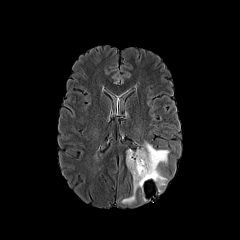
FLAIR MRI.
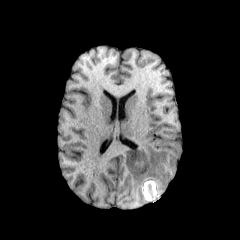
T1-weighted MRI.
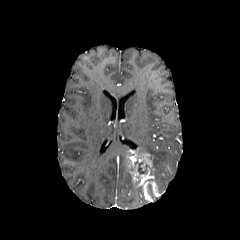
Post-contrast T1-weighted MRI of the same slice.
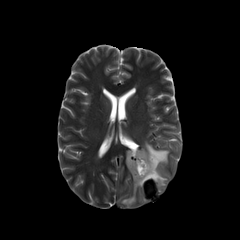
T2-weighted MR image.
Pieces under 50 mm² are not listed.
Findings:
- peritumoral edema: x1=121, y1=183, x2=145, y2=204; x1=140, y1=142, x2=169, y2=192
- necrotic tumor core: x1=134, y1=160, x2=147, y2=173
- enhancing tumor: x1=126, y1=149, x2=155, y2=186